Brain; Axial view
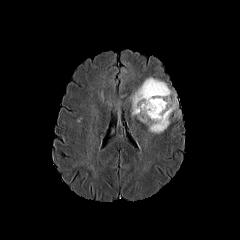
FLAIR MR.
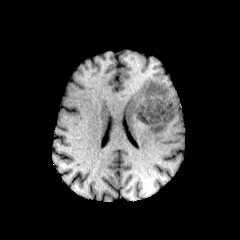
T1-weighted MR image.
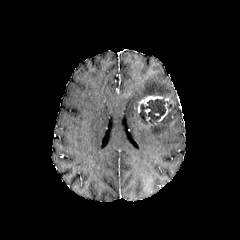
Post-contrast T1-weighted magnetic resonance.
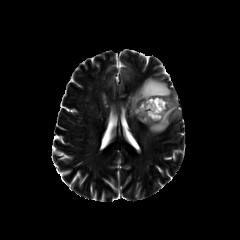
T2-weighted MR image of the same slice.
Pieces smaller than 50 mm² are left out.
<segmentation>
  <necrotic_tumor_core>138:99:168:124</necrotic_tumor_core>
  <enhancing_tumor>137:95:175:115, 154:103:171:124</enhancing_tumor>
  <peritumoral_edema>130:77:180:133</peritumoral_edema>
</segmentation>